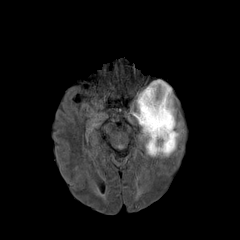
FLAIR magnetic resonance.
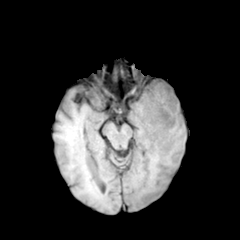
Same slice, T1-weighted MRI.
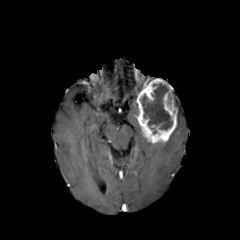
Post-contrast T1-weighted MR of the same slice.
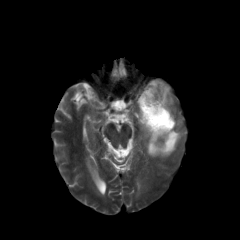
T2-weighted magnetic resonance of the same slice.
Axial slice; 240x240
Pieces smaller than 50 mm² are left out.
enhancing tumor — 136,79,177,143
necrotic tumor core — 141,83,172,129
peritumoral edema — 145,121,183,156